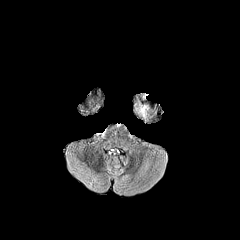
FLAIR magnetic resonance.
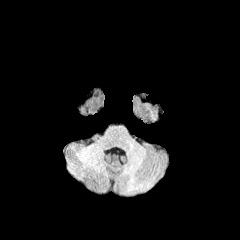
T1-weighted MRI of the same slice.
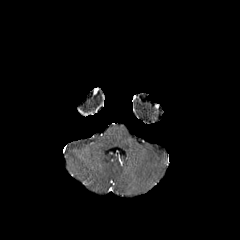
Post-contrast T1-weighted magnetic resonance of the same slice.
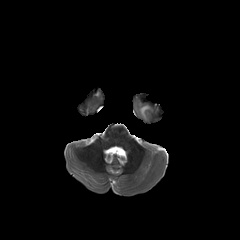
T2-weighted MRI.
peritumoral edema = <bbox>138, 105, 148, 118</bbox>